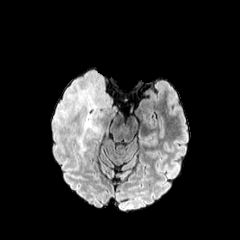
FLAIR MR image.
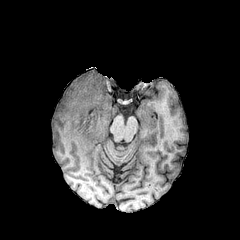
T1-weighted magnetic resonance.
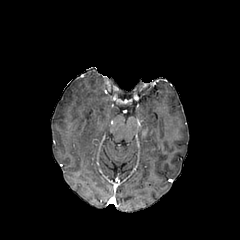
Same slice, post-contrast T1-weighted magnetic resonance.
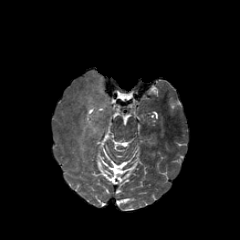
T2-weighted MR.
Image size 240x240 | Axial view
peritumoral edema at box(54, 70, 117, 151)